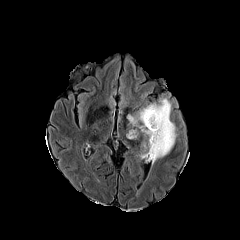
FLAIR MRI.
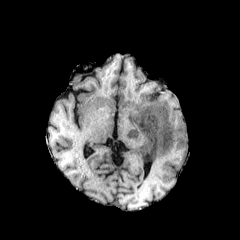
T1-weighted MRI.
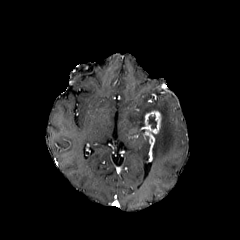
Post-contrast T1-weighted MR image of the same slice.
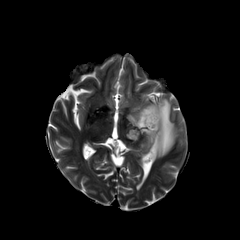
Same slice, T2-weighted MR image.
240x240 | Axial view
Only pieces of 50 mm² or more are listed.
2 peritumoral edema regions are located at left=127, top=98, right=176, bottom=164; left=138, top=136, right=149, bottom=160. The enhancing tumor appears at left=128, top=110, right=161, bottom=154. The largest necrotic tumor core region is located at left=148, top=115, right=156, bottom=128.